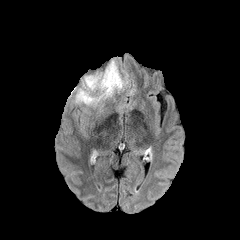
FLAIR MRI.
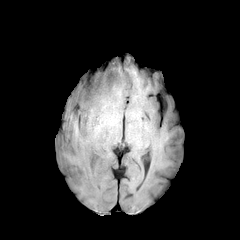
T1-weighted MR image.
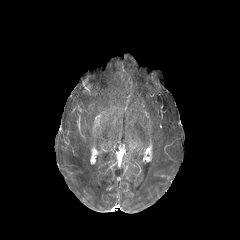
Same slice, post-contrast T1-weighted magnetic resonance.
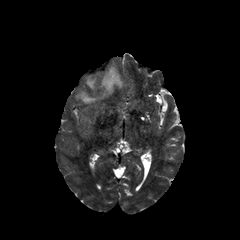
T2-weighted MRI of the same slice.
Brain
peritumoral edema: rect(76, 61, 125, 106)